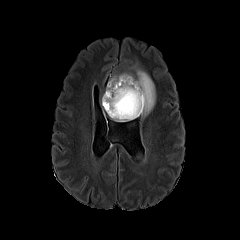
FLAIR MR.
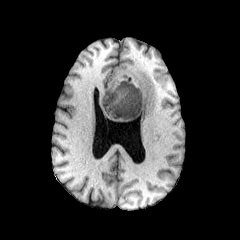
T1-weighted MR image of the same slice.
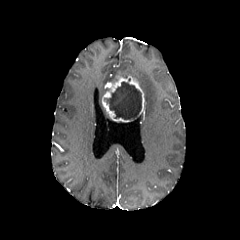
Same slice, post-contrast T1-weighted MR image.
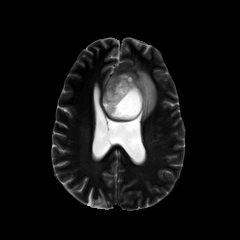
T2-weighted MR.
Axial slice. Brain.
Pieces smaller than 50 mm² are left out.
Annotated regions:
* necrotic tumor core: l=104, t=81, r=141, b=119
* peritumoral edema: l=109, t=69, r=155, b=116
* enhancing tumor: l=102, t=76, r=144, b=122